FLAIR MR.
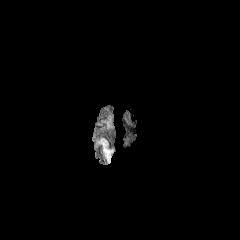
T1-weighted magnetic resonance.
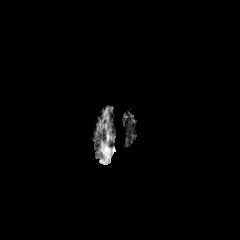
Post-contrast T1-weighted MR image.
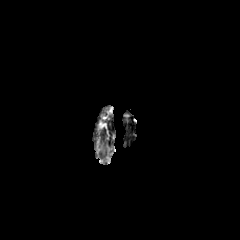
T2-weighted MR image.
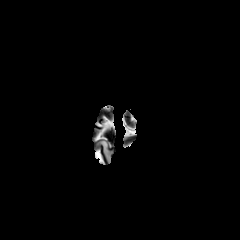
Image size 240x240 | Axial slice
peritumoral edema: box=[102, 140, 113, 162]